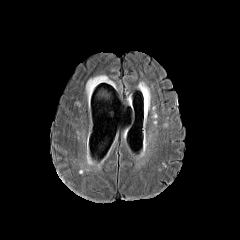
FLAIR MR.
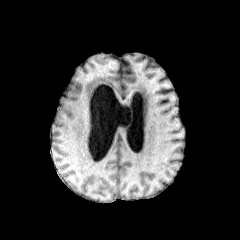
T1-weighted MR of the same slice.
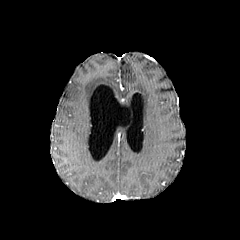
Post-contrast T1-weighted MR image of the same slice.
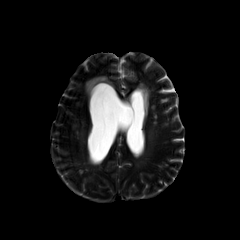
T2-weighted MRI.
240x240 px, Head
peritumoral edema: box=[86, 75, 113, 99]